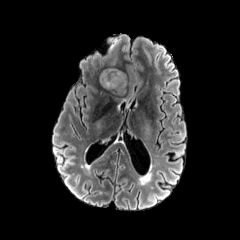
FLAIR MRI.
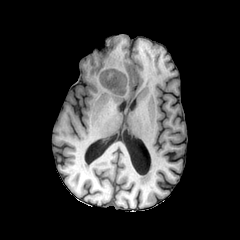
T1-weighted magnetic resonance of the same slice.
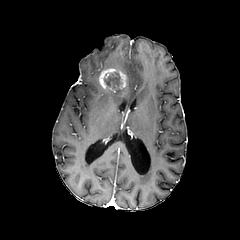
Post-contrast T1-weighted MR.
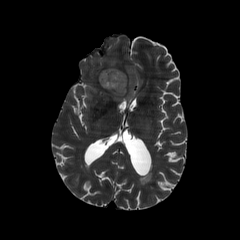
Same slice, T2-weighted MR.
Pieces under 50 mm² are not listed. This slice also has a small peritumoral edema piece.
The enhancing tumor lies within <bbox>99, 68, 126, 91</bbox>. The necrotic tumor core appears at <bbox>104, 73, 119, 88</bbox>.